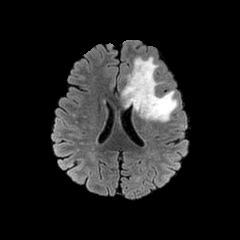
FLAIR MR image.
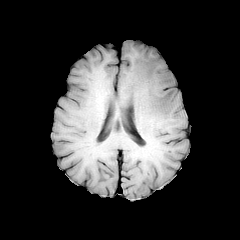
T1-weighted MRI of the same slice.
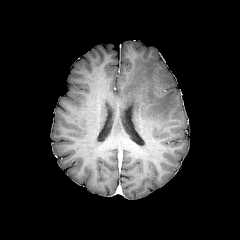
Same slice, post-contrast T1-weighted MR image.
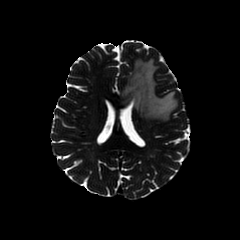
T2-weighted MRI.
Image size 240x240
peritumoral edema = [122, 57, 177, 122]